240x240 px; Brain; Axial view
FLAIR MR image.
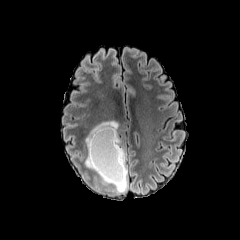
T1-weighted MRI.
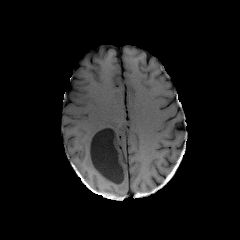
Post-contrast T1-weighted MR image.
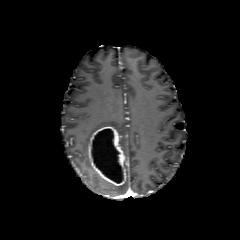
T2-weighted MRI.
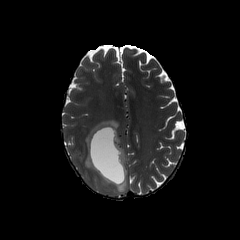
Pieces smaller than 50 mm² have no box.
necrotic_tumor_core:
  - {"x1": 91, "y1": 128, "x2": 123, "y2": 183}
peritumoral_edema:
  - {"x1": 85, "y1": 147, "x2": 127, "y2": 192}
  - {"x1": 85, "y1": 120, "x2": 118, "y2": 150}
enhancing_tumor:
  - {"x1": 88, "y1": 126, "x2": 125, "y2": 185}